Axial plane; Slice 95 of 155
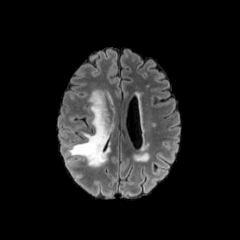
FLAIR MRI.
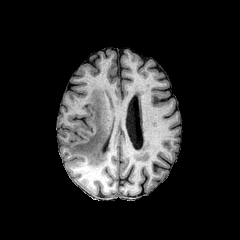
T1-weighted MRI.
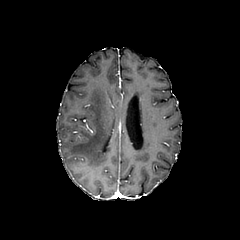
Same slice, post-contrast T1-weighted MR image.
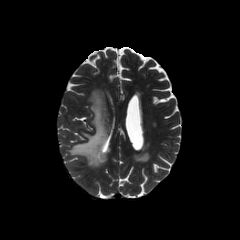
T2-weighted MR image.
peritumoral edema: (69, 90, 111, 166)